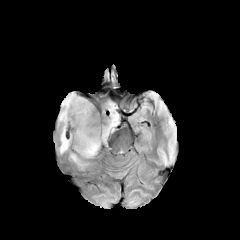
FLAIR magnetic resonance.
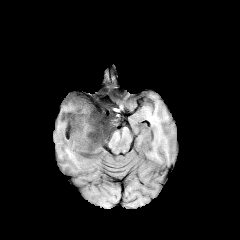
T1-weighted magnetic resonance.
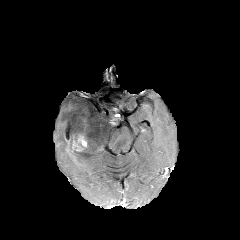
Post-contrast T1-weighted MR image of the same slice.
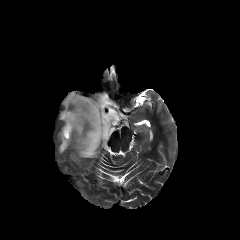
T2-weighted MR image.
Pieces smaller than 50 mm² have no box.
enhancing tumor at <box>64,122,72,141</box>
necrotic tumor core at <box>65,124,70,139</box>
peritumoral edema at <box>58,92,119,167</box>